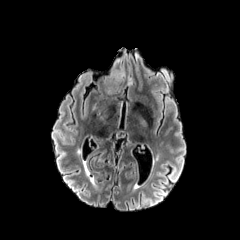
FLAIR MRI.
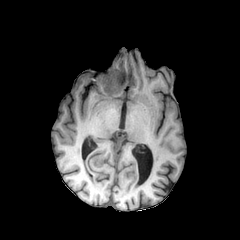
T1-weighted MR.
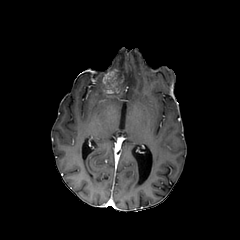
Post-contrast T1-weighted MRI.
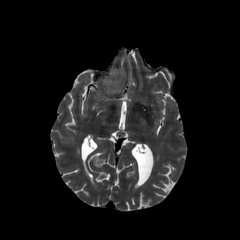
T2-weighted MRI.
Head | Axial plane | 240x240 px
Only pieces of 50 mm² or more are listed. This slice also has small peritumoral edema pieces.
enhancing_tumor:
  - <box>102,69,120,93</box>
necrotic_tumor_core:
  - <box>115,72,122,87</box>